Head, Axial view, Slice 101 of 155
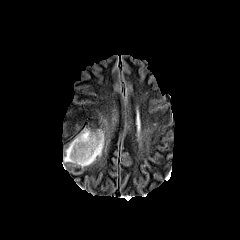
FLAIR MRI.
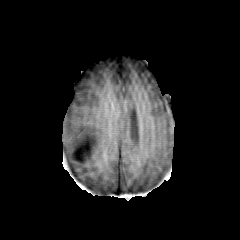
T1-weighted MR image.
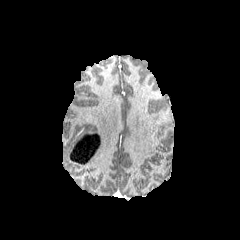
Same slice, post-contrast T1-weighted MR.
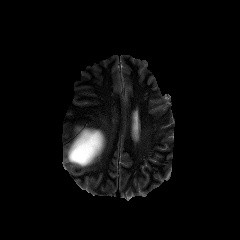
Same slice, T2-weighted MR.
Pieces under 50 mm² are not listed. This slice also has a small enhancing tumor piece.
The peritumoral edema is at box(63, 127, 106, 168). The necrotic tumor core is located at box(69, 133, 100, 164).